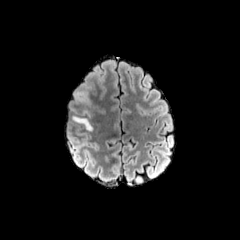
FLAIR magnetic resonance.
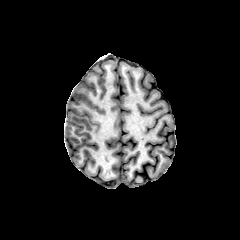
T1-weighted magnetic resonance.
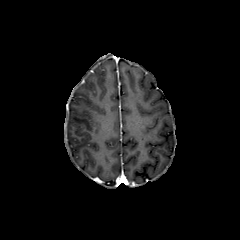
Same slice, post-contrast T1-weighted MR.
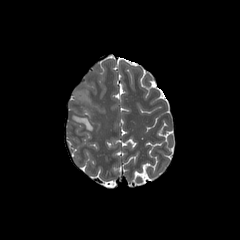
T2-weighted MR.
Axial view; 240x240; Brain
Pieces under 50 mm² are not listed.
peritumoral edema at box(71, 115, 92, 130); box(74, 88, 90, 105)